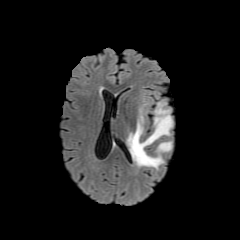
FLAIR magnetic resonance.
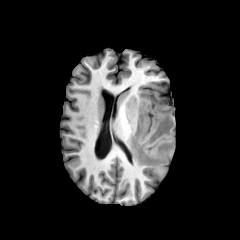
T1-weighted MR image.
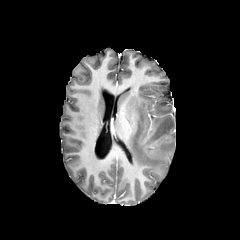
Same slice, post-contrast T1-weighted MR image.
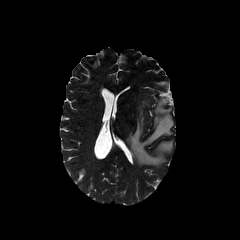
T2-weighted MR.
Brain; Image size 240x240
peritumoral edema = rect(127, 100, 173, 168)